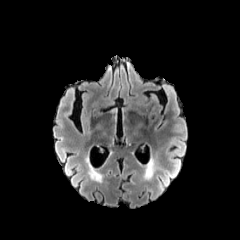
FLAIR magnetic resonance.
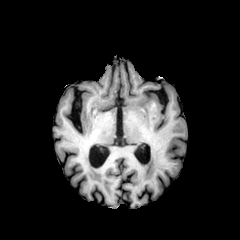
Same slice, T1-weighted MR.
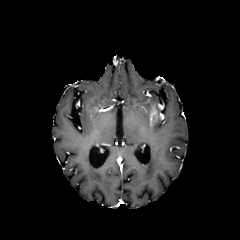
Post-contrast T1-weighted magnetic resonance of the same slice.
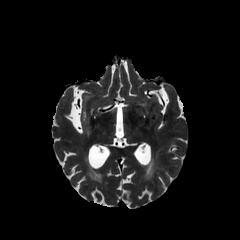
T2-weighted MR.
Axial view; Head
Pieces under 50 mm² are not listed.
Segmented structures:
* peritumoral edema: [x1=145, y1=167, x2=153, y2=179]